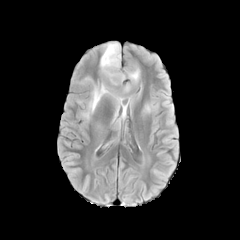
FLAIR MR.
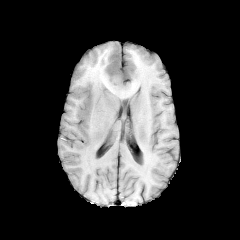
T1-weighted MR image of the same slice.
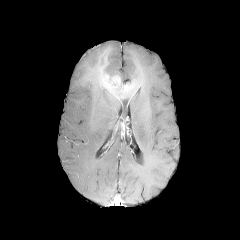
Post-contrast T1-weighted MRI.
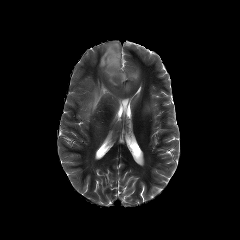
Same slice, T2-weighted MR.
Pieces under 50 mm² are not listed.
Segmented structures:
- enhancing tumor: (105, 74, 120, 85)
- peritumoral edema: (81, 42, 141, 119), (109, 118, 122, 131), (140, 102, 152, 115)